Head | Axial slice | Slice 69/155
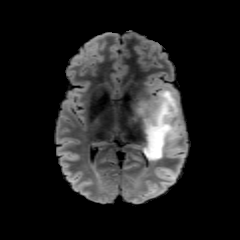
FLAIR MR image.
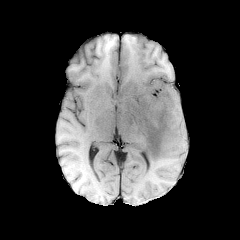
T1-weighted MR.
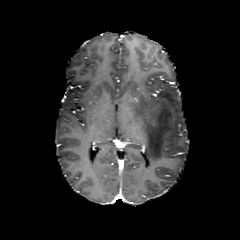
Post-contrast T1-weighted MR.
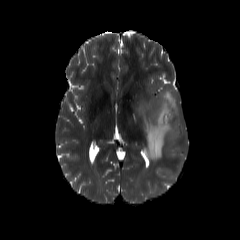
T2-weighted MR image.
peritumoral_edema:
  - bbox(137, 87, 184, 160)